FLAIR MR image.
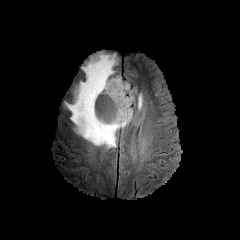
T1-weighted MR image.
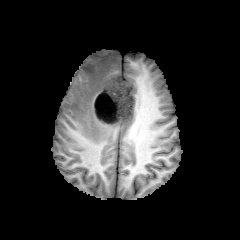
Post-contrast T1-weighted MR image.
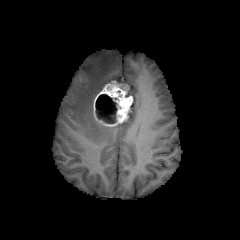
T2-weighted magnetic resonance.
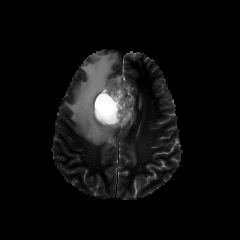
Image size 240x240 | Head | Axial slice
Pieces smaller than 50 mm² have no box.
enhancing tumor = rect(93, 80, 133, 126)
peritumoral edema = rect(138, 94, 142, 109); rect(65, 51, 133, 148)
necrotic tumor core = rect(95, 94, 117, 123)